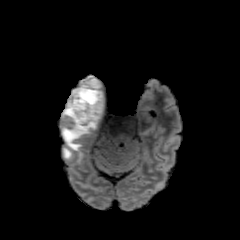
FLAIR magnetic resonance.
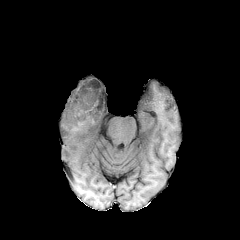
T1-weighted MR.
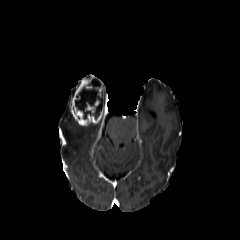
Post-contrast T1-weighted MRI.
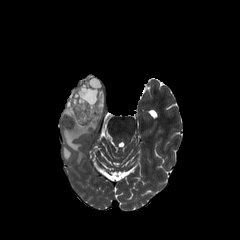
T2-weighted magnetic resonance of the same slice.
Image size 240x240; Axial view; Brain
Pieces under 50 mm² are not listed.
peritumoral edema at (62,89,106,162), (63,148,72,159)
enhancing tumor at (69,75,105,126)
necrotic tumor core at (75,79,103,118)